FLAIR magnetic resonance.
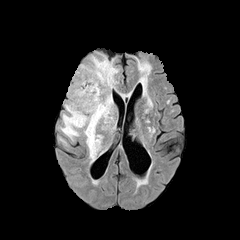
T1-weighted MR image.
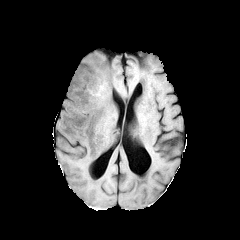
Post-contrast T1-weighted MR.
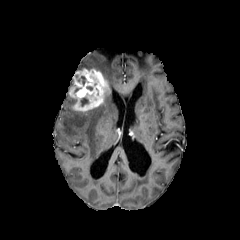
T2-weighted MRI.
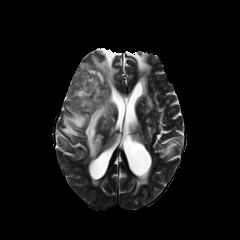
Brain. Axial slice.
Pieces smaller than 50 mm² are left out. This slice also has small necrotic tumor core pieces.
{
  "peritumoral_edema": [
    "l=60, t=55, r=118, b=162"
  ],
  "enhancing_tumor": [
    "l=68, t=68, r=110, b=111"
  ]
}